FLAIR MR.
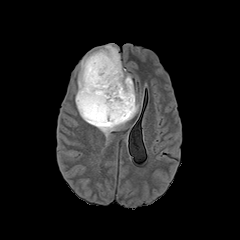
T1-weighted magnetic resonance.
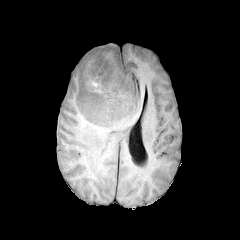
Post-contrast T1-weighted MR.
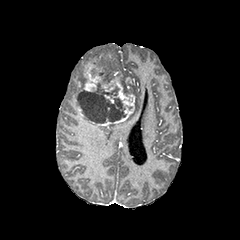
T2-weighted magnetic resonance.
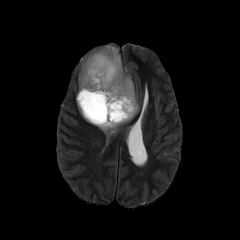
240x240; Head
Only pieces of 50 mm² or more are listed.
The 2 largest peritumoral edema regions are located at l=75, t=44, r=139, b=136; l=109, t=86, r=119, b=95. The largest enhancing tumor region is at l=79, t=53, r=134, b=125. The 3 largest necrotic tumor core regions are located at l=78, t=91, r=126, b=123; l=95, t=83, r=109, b=95; l=112, t=97, r=123, b=108.